Slice index 53. Image width 240 mm, 1.00 mm slice spacing.
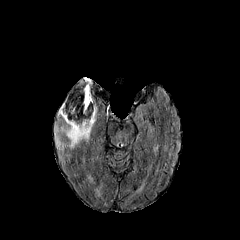
FLAIR MR.
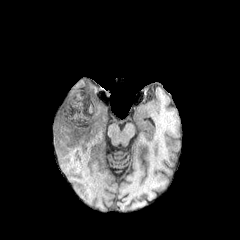
T1-weighted MRI of the same slice.
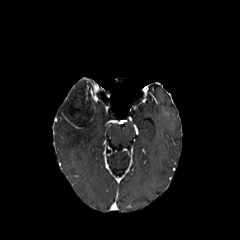
Post-contrast T1-weighted magnetic resonance.
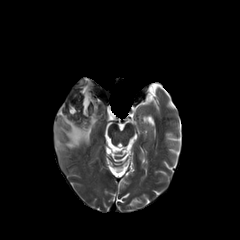
Same slice, T2-weighted MRI.
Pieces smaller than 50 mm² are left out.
Annotated regions:
* peritumoral edema: rect(55, 105, 97, 149)
* enhancing tumor: rect(65, 80, 88, 104); rect(61, 111, 84, 128)
* necrotic tumor core: rect(63, 89, 92, 126)